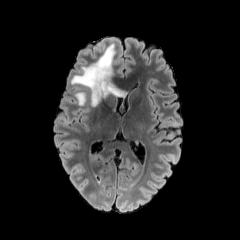
FLAIR MRI.
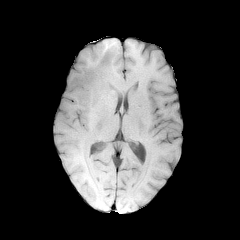
T1-weighted MR.
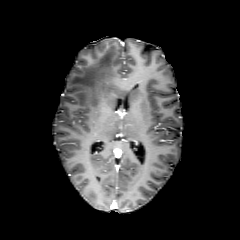
Post-contrast T1-weighted MRI.
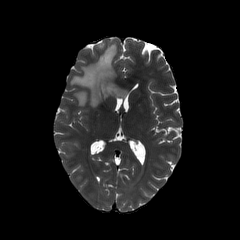
T2-weighted MR.
The peritumoral edema is located at 70, 44, 126, 107.